Slice index 74, Image width 240 mm
FLAIR magnetic resonance.
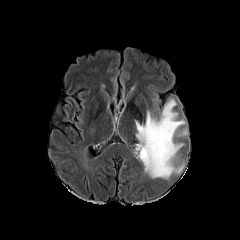
T1-weighted MR.
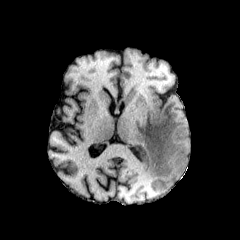
Post-contrast T1-weighted MR image.
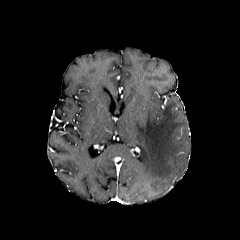
T2-weighted magnetic resonance.
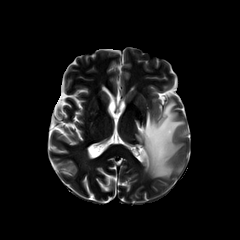
<segmentation>
  <peritumoral_edema>left=133, top=99, right=187, bottom=179</peritumoral_edema>
</segmentation>